FLAIR MRI.
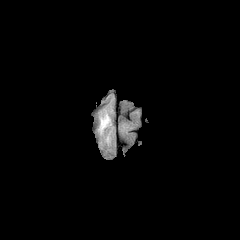
T1-weighted MRI.
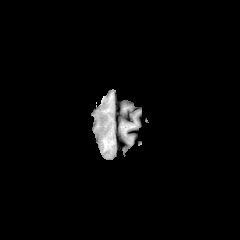
Post-contrast T1-weighted magnetic resonance.
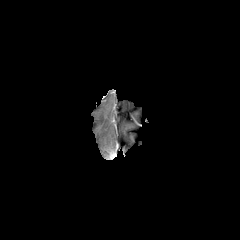
T2-weighted MR.
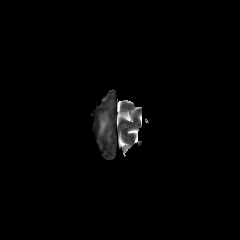
Head, Axial slice
{
  "peritumoral_edema": [
    "[100,114,109,131]"
  ]
}